Image size 240x240. Slice 112 of 155.
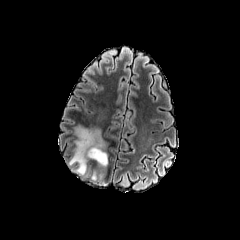
FLAIR MR.
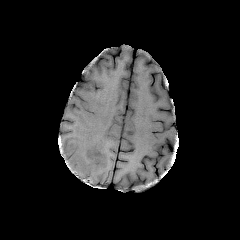
T1-weighted MR of the same slice.
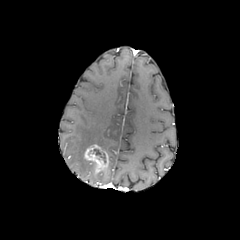
Same slice, post-contrast T1-weighted magnetic resonance.
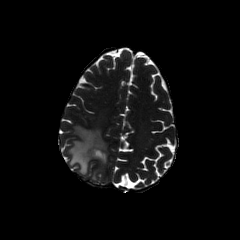
T2-weighted MRI.
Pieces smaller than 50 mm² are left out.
The enhancing tumor is bounded by (84, 144, 108, 174). The largest peritumoral edema region lies within (68, 126, 107, 175). The necrotic tumor core is bounded by (93, 149, 105, 162).